Axial slice; Brain
FLAIR MRI.
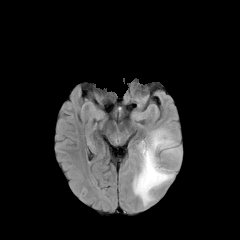
T1-weighted MR image.
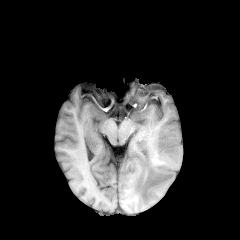
Post-contrast T1-weighted magnetic resonance.
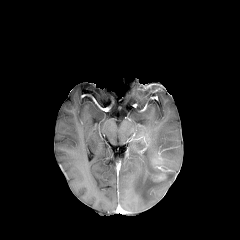
T2-weighted MR.
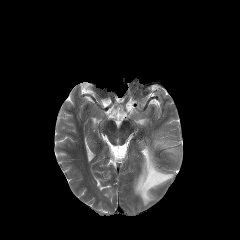
Segmented structures:
• enhancing tumor: x1=153, y1=173, x2=166, y2=181
• peritumoral edema: x1=133, y1=129, x2=182, y2=205